FLAIR MR.
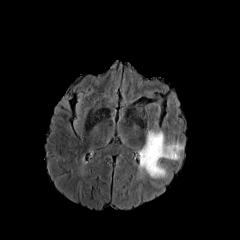
T1-weighted MR.
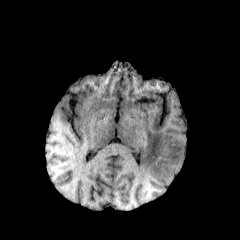
Post-contrast T1-weighted MR.
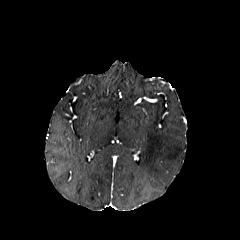
T2-weighted MR image.
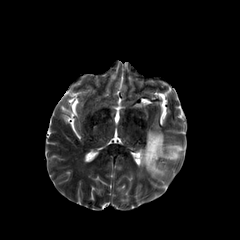
Axial plane | 240x240
Findings:
* peritumoral edema: 140,130,183,177